FLAIR MR image.
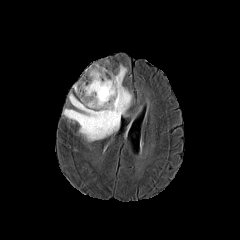
T1-weighted magnetic resonance.
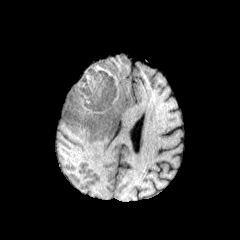
Post-contrast T1-weighted MR image.
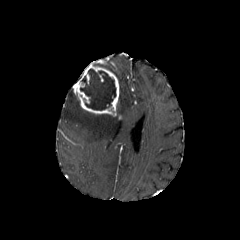
T2-weighted MR image.
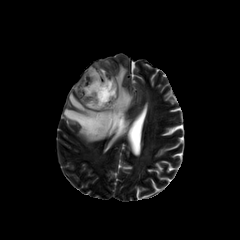
Head
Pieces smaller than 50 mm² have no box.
peritumoral edema: 63,64,132,142 | necrotic tumor core: 80,68,116,110 | enhancing tumor: 72,63,119,116